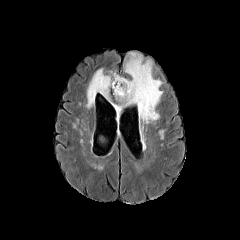
FLAIR MR.
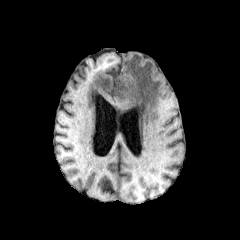
Same slice, T1-weighted MRI.
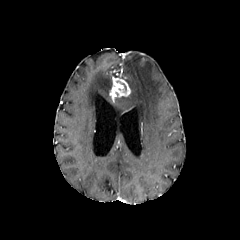
Same slice, post-contrast T1-weighted MRI.
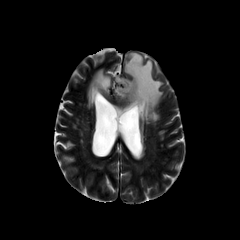
T2-weighted MRI.
240x240; Brain
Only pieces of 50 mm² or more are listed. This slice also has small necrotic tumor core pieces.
The 2 largest peritumoral edema regions appear at 120 52 162 123, 86 67 112 108. The enhancing tumor lies within 111 77 130 97.